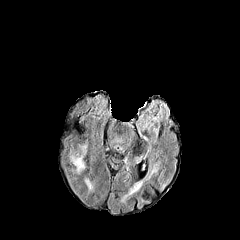
FLAIR MR image.
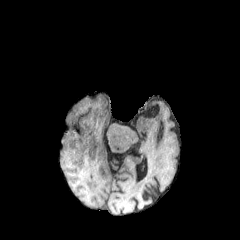
T1-weighted MR image of the same slice.
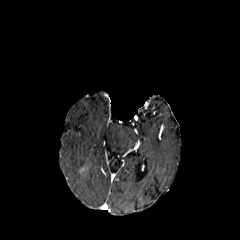
Same slice, post-contrast T1-weighted MRI.
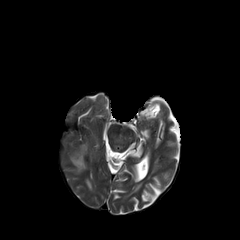
T2-weighted MRI.
Axial view.
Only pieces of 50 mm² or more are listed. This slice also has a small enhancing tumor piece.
peritumoral edema: bounding box 71 155 85 171